Image width 240 mm; Brain
FLAIR magnetic resonance.
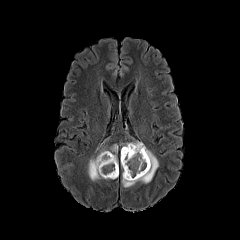
T1-weighted MR.
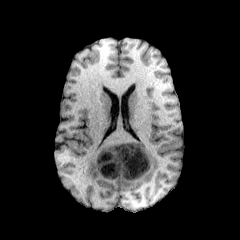
Post-contrast T1-weighted MRI.
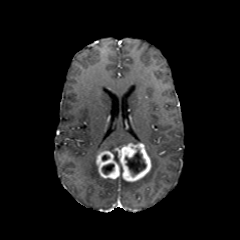
T2-weighted MR image.
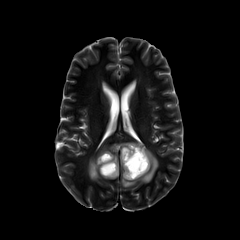
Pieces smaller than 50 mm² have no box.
enhancing_tumor:
  - {"x1": 96, "y1": 143, "x2": 151, "y2": 181}
necrotic_tumor_core:
  - {"x1": 102, "y1": 164, "x2": 114, "y2": 174}
  - {"x1": 125, "y1": 149, "x2": 146, "y2": 176}
peritumoral_edema:
  - {"x1": 88, "y1": 157, "x2": 103, "y2": 180}
  - {"x1": 121, "y1": 146, "x2": 158, "y2": 187}